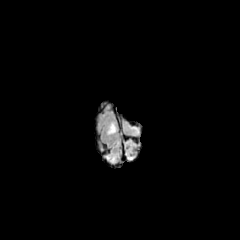
FLAIR MR.
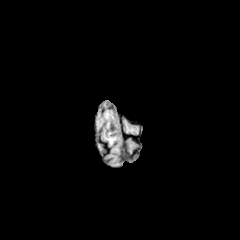
T1-weighted MR.
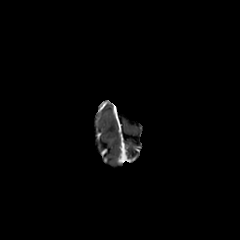
Post-contrast T1-weighted magnetic resonance.
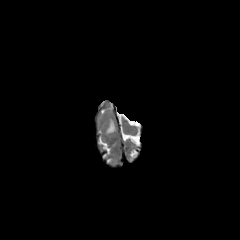
T2-weighted MR.
Image size 240x240
Segmented structures:
* peritumoral edema: [x1=107, y1=121, x2=116, y2=133]